FLAIR MR image.
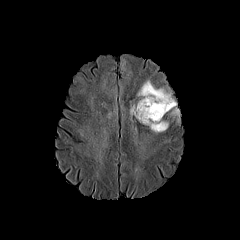
T1-weighted magnetic resonance.
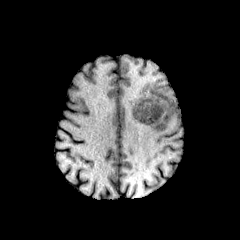
Post-contrast T1-weighted MR image.
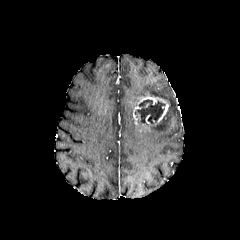
T2-weighted MR.
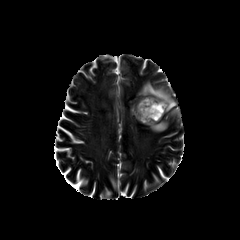
Head | 240x240 px
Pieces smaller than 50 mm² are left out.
The largest enhancing tumor region is located at bbox=[133, 95, 170, 124]. The 3 largest peritumoral edema regions appear at bbox=[146, 119, 168, 132]; bbox=[137, 80, 179, 122]; bbox=[130, 103, 136, 115]. The necrotic tumor core is bounded by bbox=[135, 99, 165, 123].